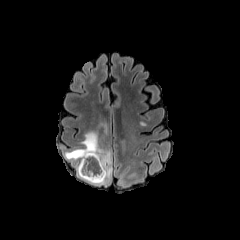
FLAIR magnetic resonance.
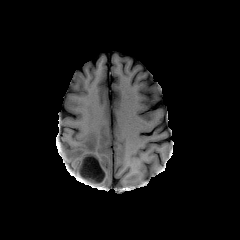
T1-weighted MR of the same slice.
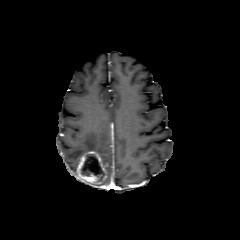
Same slice, post-contrast T1-weighted MRI.
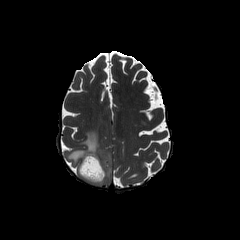
T2-weighted magnetic resonance of the same slice.
Head | Axial plane
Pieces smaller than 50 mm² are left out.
peritumoral_edema:
  - {"x1": 65, "y1": 131, "x2": 112, "y2": 185}
enhancing_tumor:
  - {"x1": 77, "y1": 151, "x2": 106, "y2": 183}
necrotic_tumor_core:
  - {"x1": 81, "y1": 154, "x2": 104, "y2": 180}